FLAIR MR.
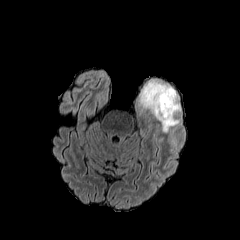
T1-weighted MR.
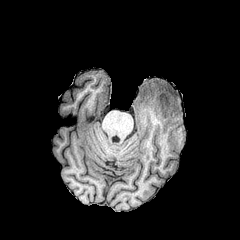
Post-contrast T1-weighted MR.
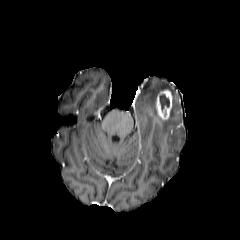
T2-weighted MR.
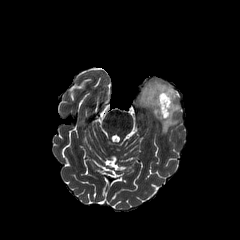
Axial plane; 240x240 px
The enhancing tumor lies within [x1=155, y1=89, x2=174, y2=120]. The necrotic tumor core appears at [x1=160, y1=94, x2=169, y2=111]. The peritumoral edema lies within [x1=140, y1=81, x2=181, y2=132].